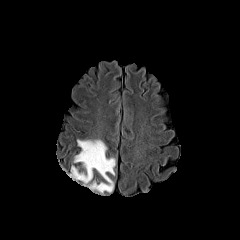
FLAIR MRI.
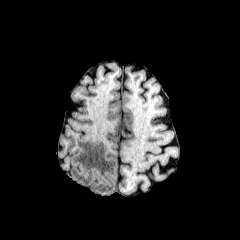
Same slice, T1-weighted MR.
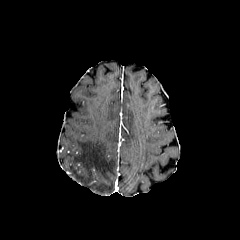
Post-contrast T1-weighted MR.
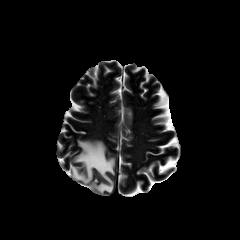
T2-weighted MR image of the same slice.
Head.
peritumoral edema — l=71, t=139, r=115, b=193